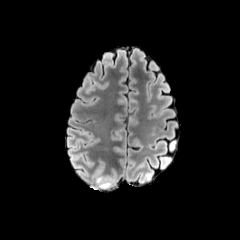
FLAIR MRI.
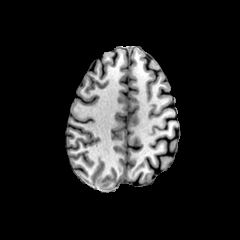
T1-weighted MR image.
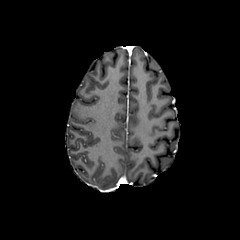
Same slice, post-contrast T1-weighted MR image.
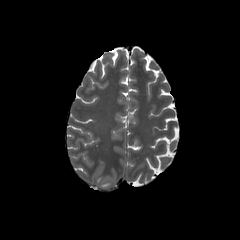
T2-weighted MRI.
Brain.
The peritumoral edema appears at x1=95 y1=176 x2=114 y2=188.